FLAIR MR.
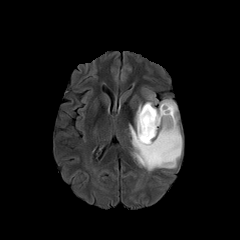
T1-weighted MRI.
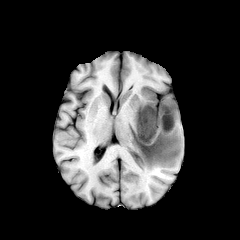
Post-contrast T1-weighted MR image.
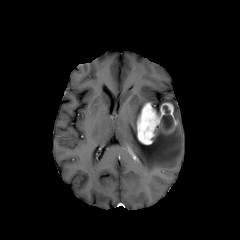
T2-weighted MRI.
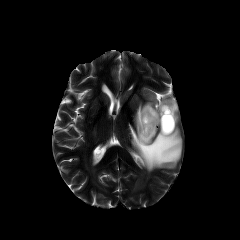
Brain
Annotated regions:
• peritumoral edema: box=[129, 98, 182, 171]; box=[146, 94, 159, 112]
• enhancing tumor: box=[137, 102, 177, 144]
• necrotic tumor core: box=[161, 106, 173, 130]